Slice 102/155. Brain. Axial slice.
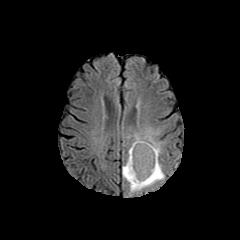
FLAIR magnetic resonance.
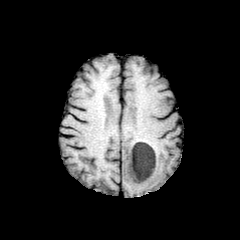
T1-weighted MR image.
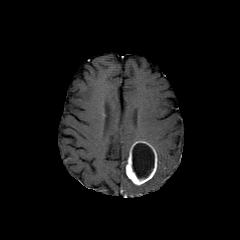
Post-contrast T1-weighted magnetic resonance.
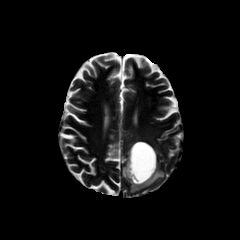
T2-weighted MR image.
Annotated regions:
- peritumoral edema: <bbox>122, 128, 164, 193</bbox>
- necrotic tumor core: <bbox>132, 143, 154, 178</bbox>
- enhancing tumor: <bbox>125, 140, 157, 185</bbox>